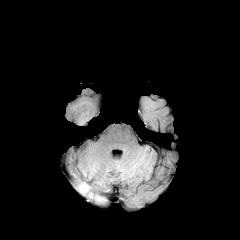
FLAIR MR.
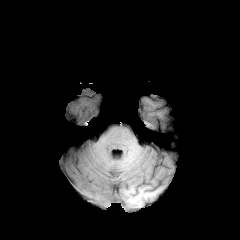
T1-weighted magnetic resonance.
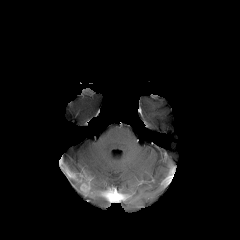
Same slice, post-contrast T1-weighted MR.
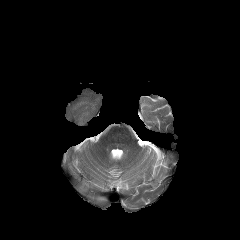
T2-weighted MRI.
Head.
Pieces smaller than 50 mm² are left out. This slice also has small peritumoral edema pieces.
The enhancing tumor lies within (x1=72, y1=173, x2=90, y2=192).